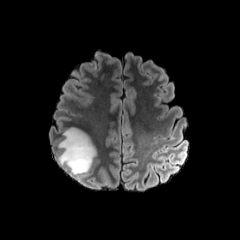
FLAIR MR image.
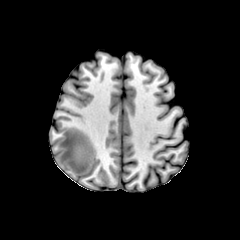
T1-weighted MR image.
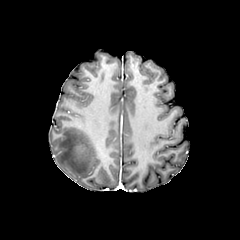
Post-contrast T1-weighted MRI.
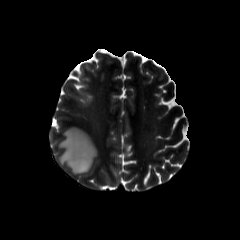
T2-weighted MRI.
Axial plane. Head.
{"peritumoral_edema": ["x1=57 y1=127 x2=96 y2=176"]}